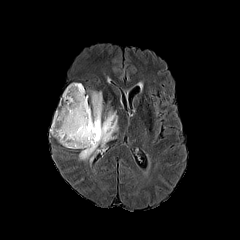
FLAIR MR.
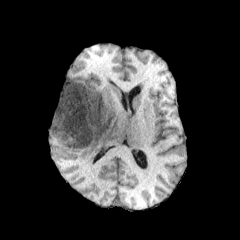
Same slice, T1-weighted magnetic resonance.
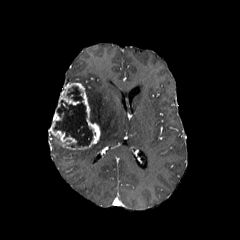
Same slice, post-contrast T1-weighted magnetic resonance.
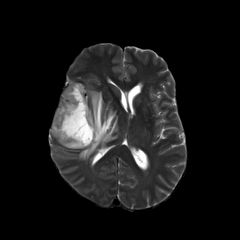
T2-weighted MRI of the same slice.
Brain
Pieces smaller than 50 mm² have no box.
peritumoral edema at 79,90,118,162
necrotic tumor core at 54,86,92,147
enhancing tumor at 49,82,100,149